FLAIR MR image.
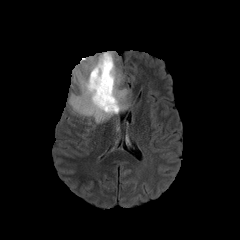
T1-weighted MRI.
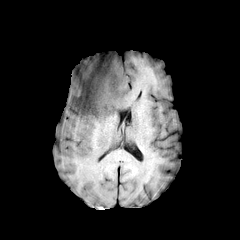
Post-contrast T1-weighted MR image.
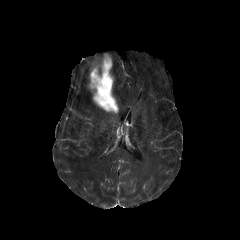
T2-weighted MR.
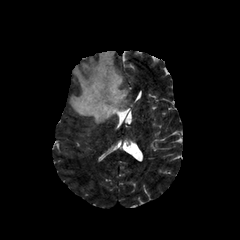
enhancing tumor = bbox(88, 54, 118, 112)
peritumoral edema = bbox(68, 51, 129, 124)